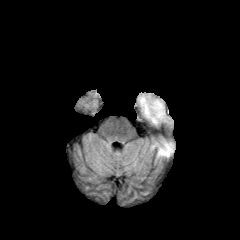
FLAIR MR image.
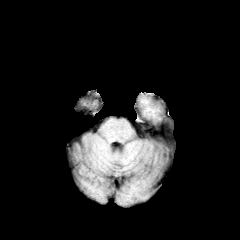
T1-weighted magnetic resonance of the same slice.
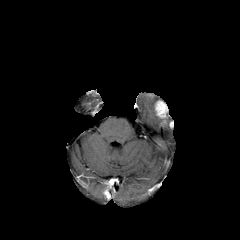
Post-contrast T1-weighted MR.
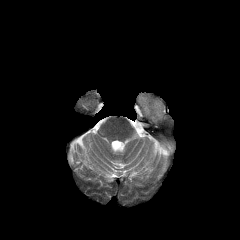
Same slice, T2-weighted magnetic resonance.
Head. Image size 240x240.
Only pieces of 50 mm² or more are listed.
<segmentation>
  <peritumoral_edema>bbox(136, 93, 161, 127); bbox(151, 142, 173, 157)</peritumoral_edema>
  <enhancing_tumor>bbox(154, 100, 168, 123)</enhancing_tumor>
</segmentation>